240x240 px; Brain
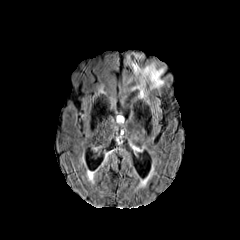
FLAIR MR image.
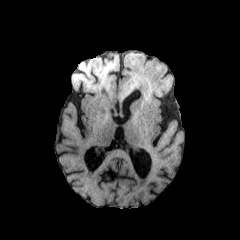
Same slice, T1-weighted magnetic resonance.
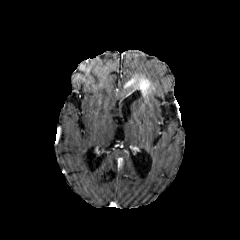
Post-contrast T1-weighted magnetic resonance.
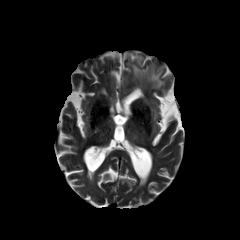
Same slice, T2-weighted magnetic resonance.
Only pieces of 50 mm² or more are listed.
enhancing_tumor:
  - region(125, 75, 150, 96)
peritumoral_edema:
  - region(138, 91, 148, 102)
  - region(128, 56, 164, 93)